FLAIR MR image.
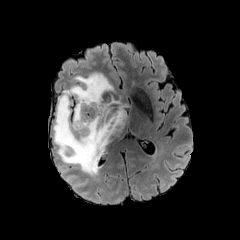
T1-weighted MRI.
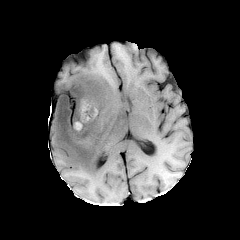
Post-contrast T1-weighted magnetic resonance.
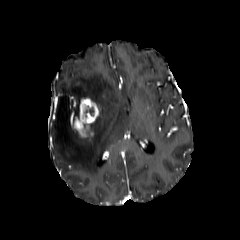
T2-weighted MR.
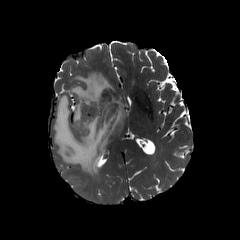
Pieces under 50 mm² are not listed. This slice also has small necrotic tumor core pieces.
enhancing_tumor:
  - 74:98:99:139
peritumoral_edema:
  - 53:72:130:176